Axial view
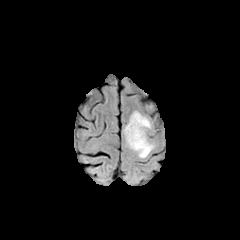
FLAIR MRI.
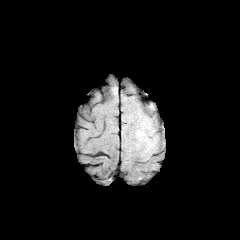
T1-weighted MRI.
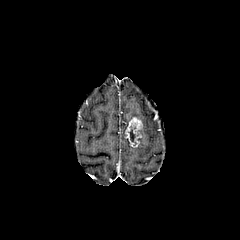
Same slice, post-contrast T1-weighted magnetic resonance.
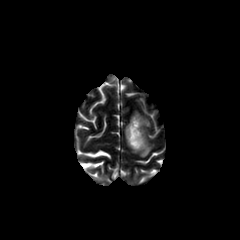
T2-weighted MRI.
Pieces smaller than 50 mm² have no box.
peritumoral edema at <box>124,111,154,157</box>
enhancing tumor at <box>125,117,142,147</box>
necrotic tumor core at <box>129,129,135,141</box>